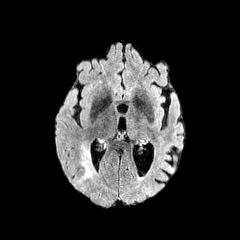
FLAIR MRI.
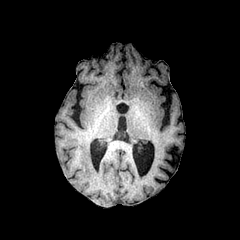
T1-weighted MR.
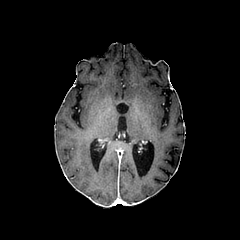
Same slice, post-contrast T1-weighted MRI.
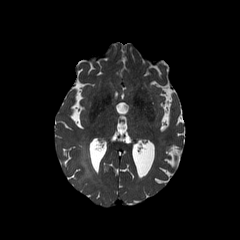
T2-weighted magnetic resonance of the same slice.
Head. Axial view.
{"peritumoral_edema": ["(79, 144, 94, 182)"]}